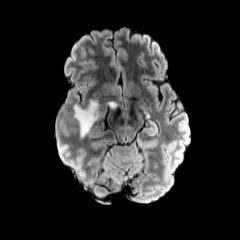
FLAIR MR.
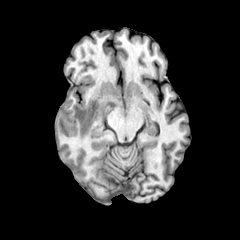
Same slice, T1-weighted MRI.
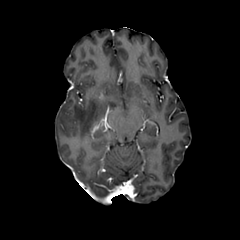
Post-contrast T1-weighted MR image of the same slice.
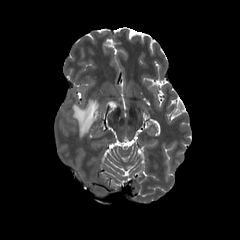
Same slice, T2-weighted magnetic resonance.
Axial slice, Brain
Annotated regions:
• peritumoral edema: rect(73, 99, 103, 137); rect(106, 101, 118, 107)